FLAIR MRI.
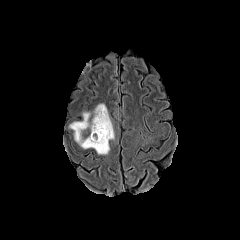
T1-weighted MR.
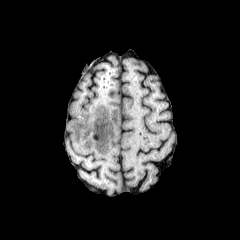
Post-contrast T1-weighted magnetic resonance.
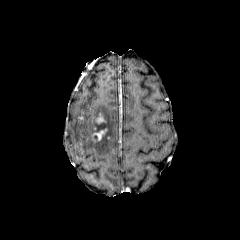
T2-weighted MR image.
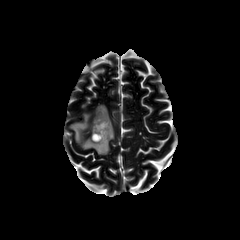
Image size 240x240
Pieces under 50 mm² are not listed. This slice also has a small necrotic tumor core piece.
The peritumoral edema appears at bbox=[69, 104, 114, 154]. 2 enhancing tumor regions appear at bbox=[92, 128, 107, 141]; bbox=[95, 113, 105, 123].